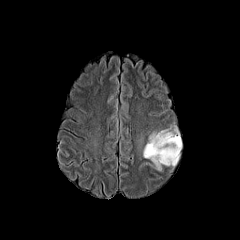
FLAIR MR.
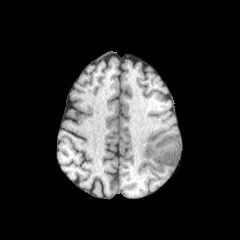
Same slice, T1-weighted MR.
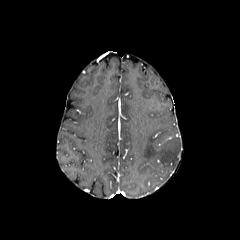
Same slice, post-contrast T1-weighted magnetic resonance.
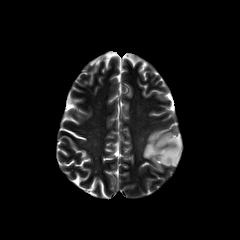
T2-weighted MRI.
240x240 px. Head. Axial slice.
peritumoral edema at [x1=143, y1=129, x2=181, y2=170]